240x240 | Axial view | Slice index 84
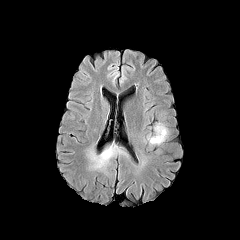
FLAIR magnetic resonance.
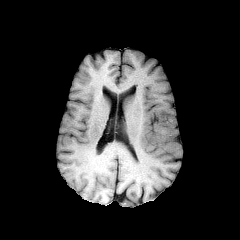
T1-weighted MRI of the same slice.
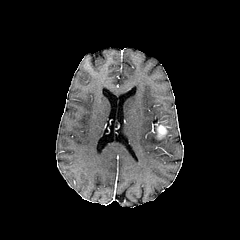
Post-contrast T1-weighted MR.
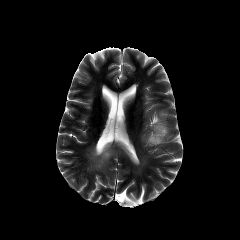
Same slice, T2-weighted MR.
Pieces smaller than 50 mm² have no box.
{
  "enhancing_tumor": [
    "156,124,167,139"
  ],
  "peritumoral_edema": [
    "95,149,112,167",
    "144,125,168,145"
  ]
}